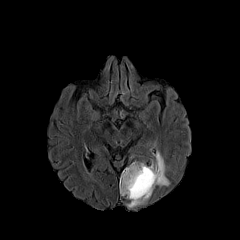
FLAIR MR image.
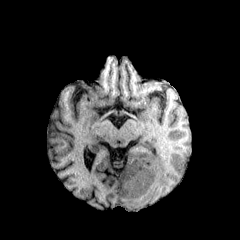
Same slice, T1-weighted MRI.
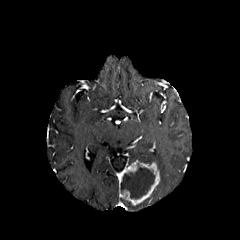
Post-contrast T1-weighted MR image of the same slice.
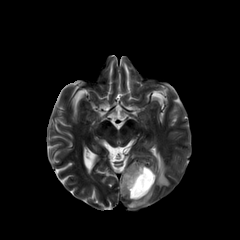
T2-weighted MRI.
240x240 px. Axial view.
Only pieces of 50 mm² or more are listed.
The 2 largest peritumoral edema regions appear at bbox=[151, 150, 169, 187]; bbox=[127, 198, 148, 208]. The necrotic tumor core is at bbox=[121, 167, 154, 198]. The enhancing tumor is at bbox=[119, 160, 160, 205].